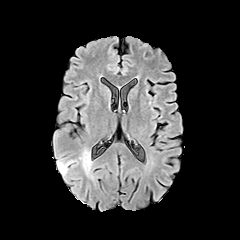
FLAIR MR.
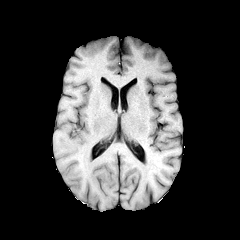
T1-weighted MR.
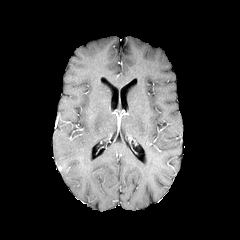
Post-contrast T1-weighted magnetic resonance.
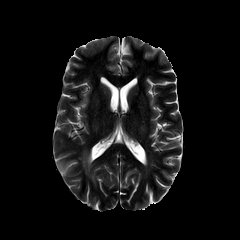
T2-weighted magnetic resonance.
Axial slice; Head
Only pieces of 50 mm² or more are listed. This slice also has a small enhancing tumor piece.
The 2 largest peritumoral edema regions appear at (x1=57, y1=160, x2=74, y2=176), (x1=80, y1=151, x2=92, y2=174).